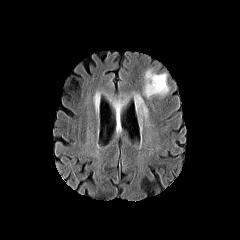
FLAIR MRI.
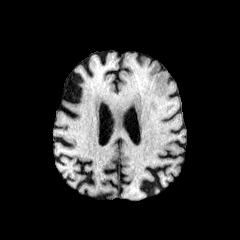
T1-weighted MR of the same slice.
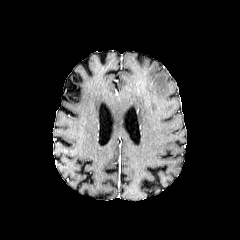
Post-contrast T1-weighted magnetic resonance.
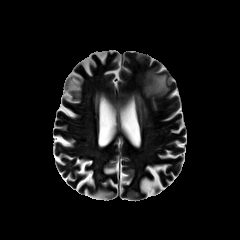
Same slice, T2-weighted magnetic resonance.
240x240 px; Axial plane; Head
peritumoral edema — {"x1": 134, "y1": 94, "x2": 147, "y2": 115}, {"x1": 143, "y1": 69, "x2": 169, "y2": 97}